Image size 240x240. Slice index 97.
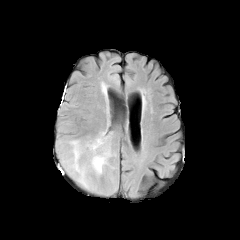
FLAIR MRI.
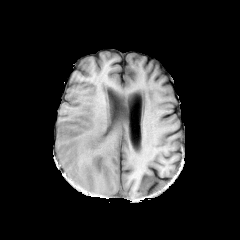
T1-weighted magnetic resonance.
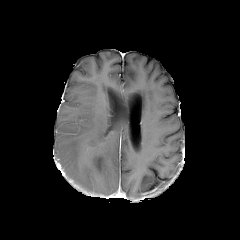
Post-contrast T1-weighted MR image.
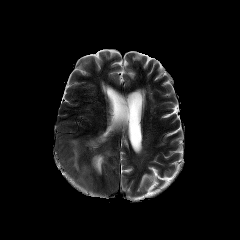
Same slice, T2-weighted magnetic resonance.
Findings:
• peritumoral edema: (86,136,109,174), (71,140,86,186)